FLAIR MR image.
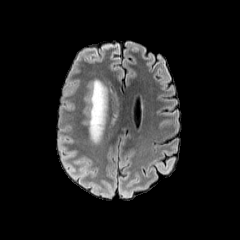
T1-weighted MR image.
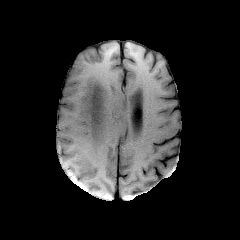
Post-contrast T1-weighted MR image.
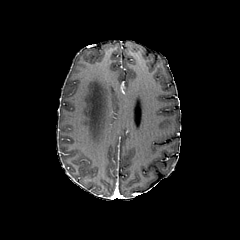
T2-weighted magnetic resonance.
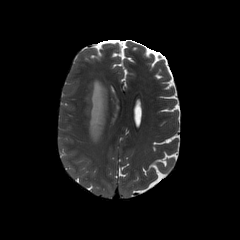
The peritumoral edema lies within 88,79,107,143.